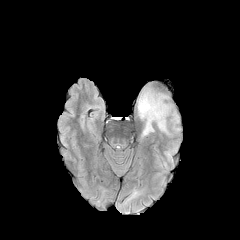
FLAIR MRI.
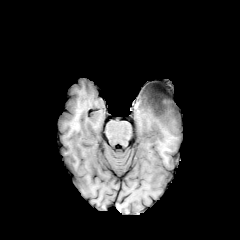
T1-weighted MR.
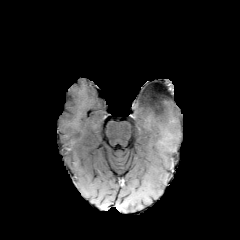
Post-contrast T1-weighted magnetic resonance of the same slice.
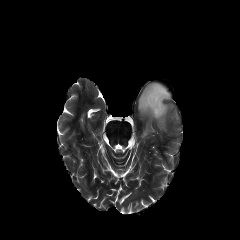
Same slice, T2-weighted MR.
Brain. 240x240.
peritumoral edema: 137, 85, 178, 136 | necrotic tumor core: 144, 84, 169, 114